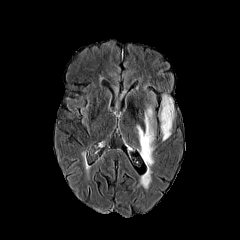
FLAIR MR.
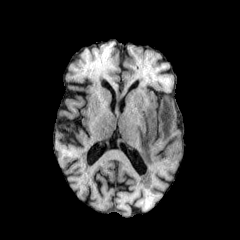
T1-weighted MR.
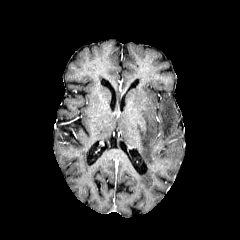
Post-contrast T1-weighted magnetic resonance.
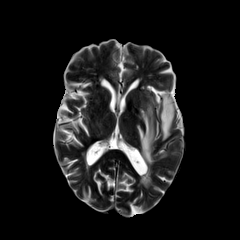
T2-weighted MR image.
Brain. 240x240 px.
2 peritumoral edema regions are bounded by left=159, top=94, right=174, bottom=140; left=136, top=105, right=155, bottom=169.